FLAIR magnetic resonance.
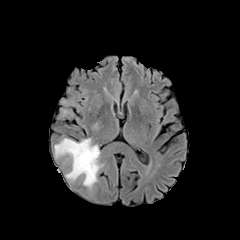
T1-weighted MRI.
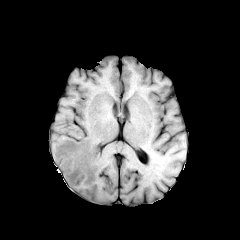
Post-contrast T1-weighted MR.
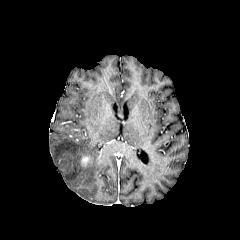
T2-weighted magnetic resonance.
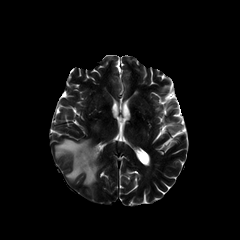
240x240 px | Head | Axial slice
peritumoral edema: x1=54 y1=138 x2=101 y2=188
enhancing tumor: x1=81 y1=155 x2=90 y2=166